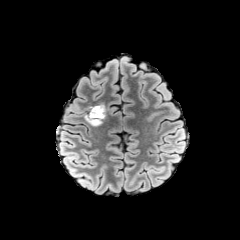
FLAIR magnetic resonance.
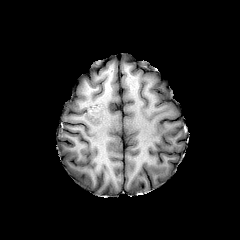
T1-weighted magnetic resonance.
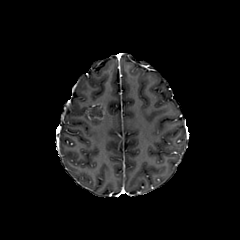
Post-contrast T1-weighted MR image.
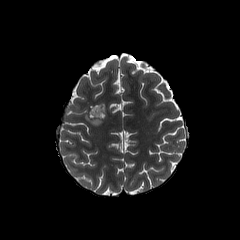
T2-weighted MR image of the same slice.
Axial view.
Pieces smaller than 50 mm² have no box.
enhancing tumor at [88,104,105,119]
necrotic tumor core at [90,106,102,117]
peritumoral edema at [84,114,102,126]